FLAIR magnetic resonance.
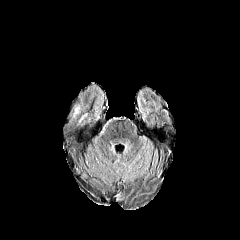
T1-weighted MRI.
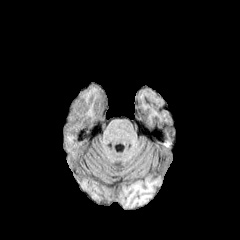
Post-contrast T1-weighted MR image.
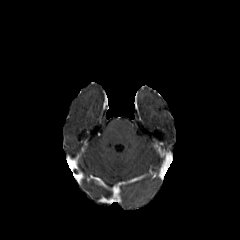
T2-weighted MR image.
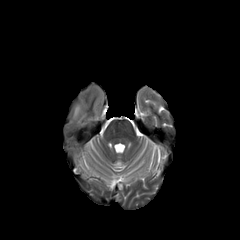
Axial view | Image size 240x240
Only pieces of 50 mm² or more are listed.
peritumoral edema = (x1=73, y1=105, x2=80, y2=117)